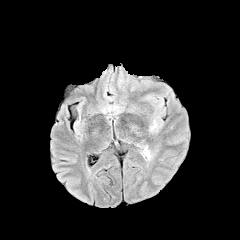
FLAIR magnetic resonance.
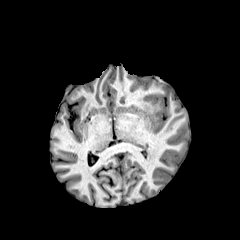
T1-weighted MR.
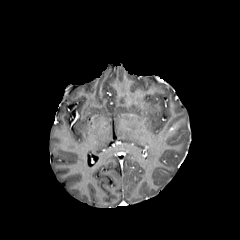
Post-contrast T1-weighted MR image.
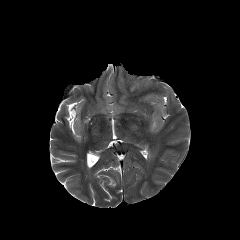
T2-weighted MR image of the same slice.
Axial slice; Head
peritumoral edema: bounding box box(118, 67, 161, 90)